240x240 px
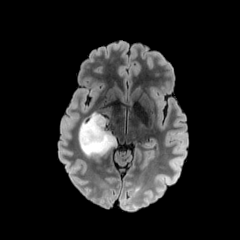
FLAIR MR.
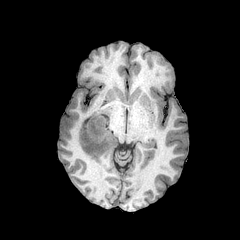
T1-weighted MR image.
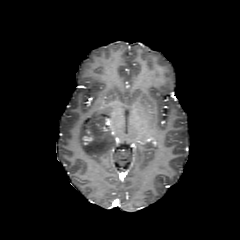
Post-contrast T1-weighted MRI of the same slice.
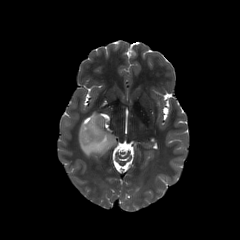
T2-weighted magnetic resonance.
enhancing tumor: 83:128:92:144 | peritumoral edema: 99:107:112:116, 78:112:117:156